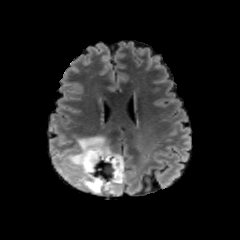
FLAIR MR image.
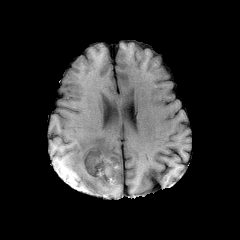
T1-weighted MR of the same slice.
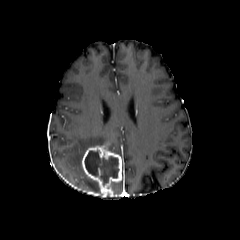
Post-contrast T1-weighted MRI of the same slice.
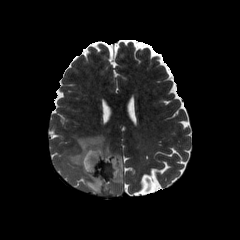
Same slice, T2-weighted magnetic resonance.
Head. Axial plane.
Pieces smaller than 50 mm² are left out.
peritumoral edema: bounding box (x1=65, y1=135, x2=111, y2=193), (x1=112, y1=182, x2=121, y2=193)
necrotic tumor core: bounding box (x1=85, y1=151, x2=118, y2=185)
enhancing tumor: bounding box (x1=82, y1=145, x2=122, y2=193)